240x240 px, Head, Image covers 240 mm x 240 mm
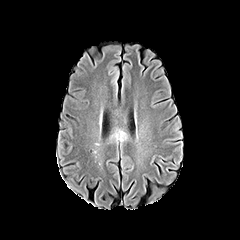
FLAIR MR image.
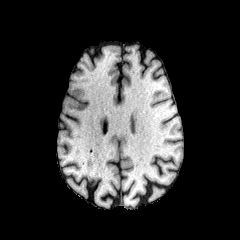
Same slice, T1-weighted magnetic resonance.
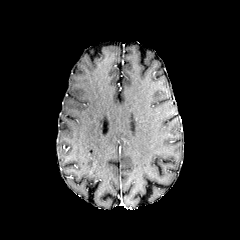
Post-contrast T1-weighted MR of the same slice.
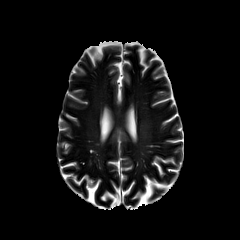
Same slice, T2-weighted MR.
The peritumoral edema appears at [x1=111, y1=128, x2=128, y2=140].